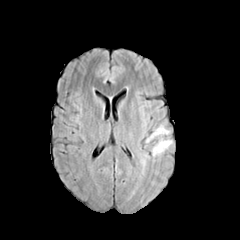
FLAIR MRI.
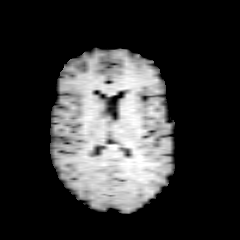
T1-weighted MR.
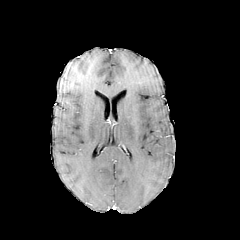
Post-contrast T1-weighted MR image of the same slice.
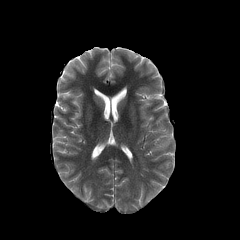
T2-weighted MR.
Brain. Axial view.
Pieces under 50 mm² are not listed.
peritumoral edema: bounding box box=[150, 126, 168, 138]; box=[152, 139, 171, 155]